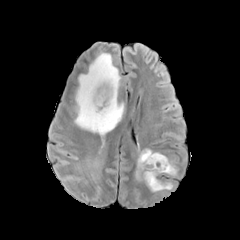
FLAIR MR.
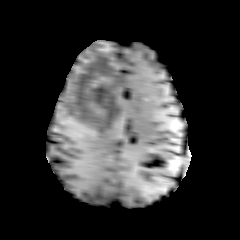
T1-weighted MR of the same slice.
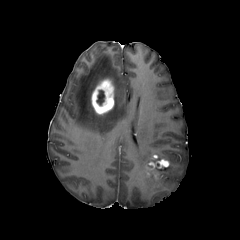
Same slice, post-contrast T1-weighted MR image.
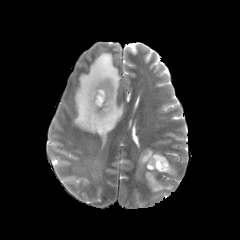
Same slice, T2-weighted magnetic resonance.
240x240
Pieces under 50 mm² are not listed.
Segmented structures:
- peritumoral edema: [74, 53, 124, 135], [137, 149, 177, 191]
- enhancing tumor: [91, 79, 114, 114], [157, 158, 169, 168], [146, 161, 156, 170]
- necrotic tumor core: [97, 91, 104, 104], [151, 162, 164, 173]